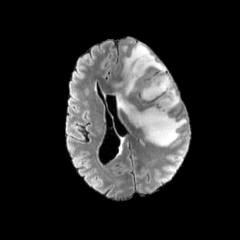
FLAIR MRI.
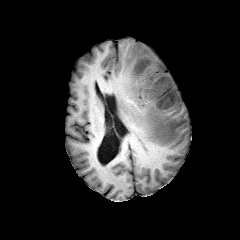
T1-weighted MR image.
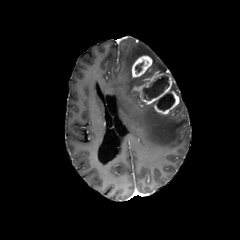
Post-contrast T1-weighted MR image.
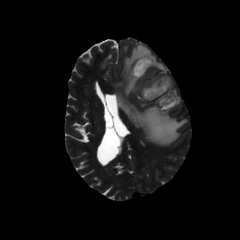
T2-weighted MR image.
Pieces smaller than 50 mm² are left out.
necrotic tumor core: <box>157,93,174,110</box>, <box>142,76,169,100</box>
enhancing tumor: <box>131,55,153,78</box>, <box>132,70,179,114</box>
peritumoral edema: <box>112,43,186,146</box>